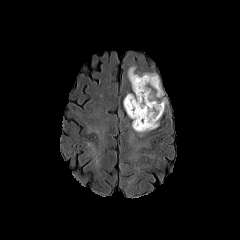
FLAIR MR.
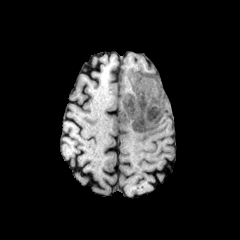
T1-weighted MR of the same slice.
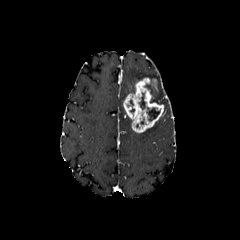
Post-contrast T1-weighted MR of the same slice.
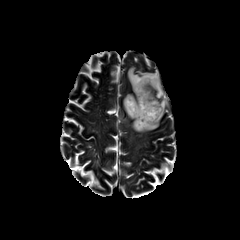
T2-weighted MR of the same slice.
Head, Axial slice
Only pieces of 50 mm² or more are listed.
Annotated regions:
• enhancing tumor: [x1=123, y1=77, x2=164, y2=133]
• peritumoral edema: [x1=139, y1=120, x2=159, y2=136], [x1=128, y1=66, x2=167, y2=106]
• necrotic tumor core: [x1=147, y1=108, x2=159, y2=120], [x1=139, y1=93, x2=145, y2=109]